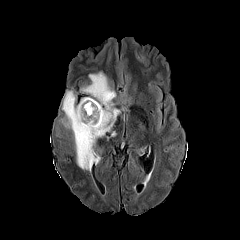
FLAIR MR.
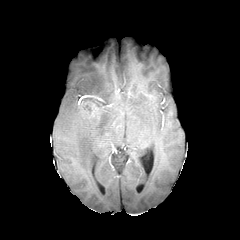
T1-weighted magnetic resonance.
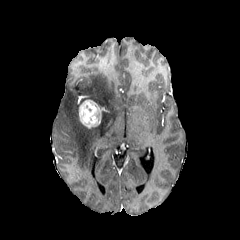
Post-contrast T1-weighted MR of the same slice.
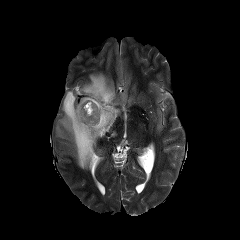
Same slice, T2-weighted MR image.
Head, Axial plane
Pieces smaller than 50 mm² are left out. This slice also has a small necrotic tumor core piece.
The largest peritumoral edema region is bounded by l=60, t=72, r=120, b=170. The enhancing tumor is at l=79, t=100, r=102, b=128.